Head | Slice 41 of 155
FLAIR MR image.
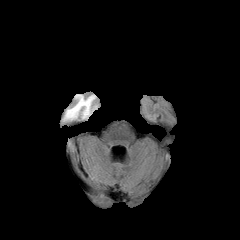
T1-weighted MRI.
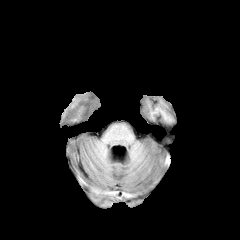
Post-contrast T1-weighted magnetic resonance.
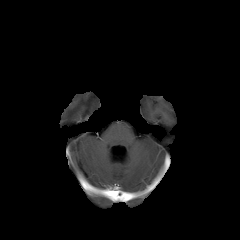
T2-weighted MR image.
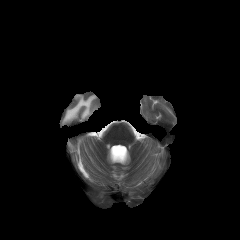
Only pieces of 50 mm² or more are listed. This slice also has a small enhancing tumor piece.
peritumoral_edema:
  - (left=64, top=94, right=97, bottom=121)